FLAIR magnetic resonance.
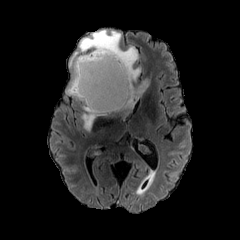
T1-weighted magnetic resonance.
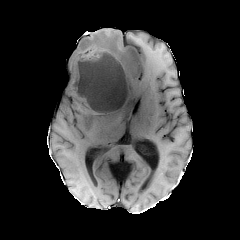
Post-contrast T1-weighted MRI.
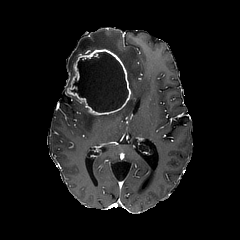
T2-weighted MRI.
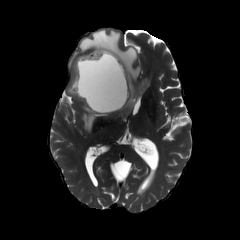
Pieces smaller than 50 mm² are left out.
Annotated regions:
• enhancing tumor: [67,48,131,115]
• necrotic tumor core: [71,52,127,112]
• peritumoral edema: [68,29,148,115], [81,104,102,131]